240x240
FLAIR MR image.
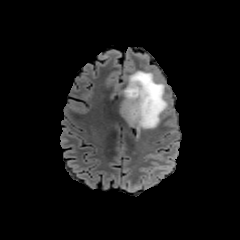
T1-weighted MR image.
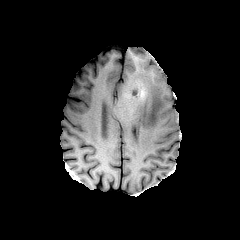
Post-contrast T1-weighted MR image.
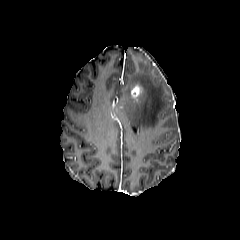
T2-weighted MR.
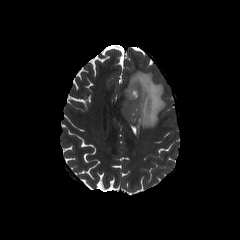
The enhancing tumor lies within bbox=[131, 84, 142, 96]. The peritumoral edema is located at bbox=[120, 71, 167, 130].